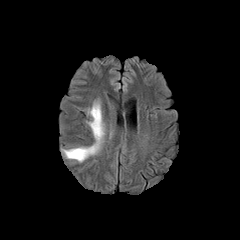
FLAIR MR.
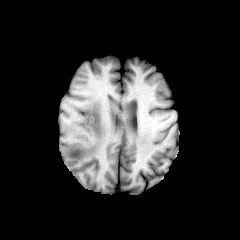
T1-weighted MR image.
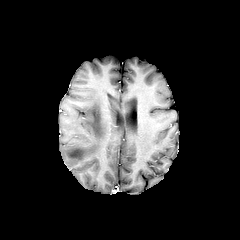
Post-contrast T1-weighted magnetic resonance.
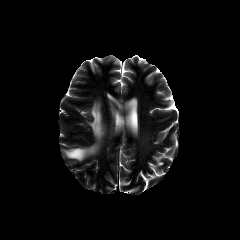
Same slice, T2-weighted MR image.
Image size 240x240, Head
The peritumoral edema appears at 62,102,104,162.